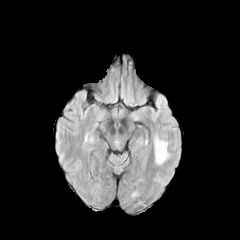
FLAIR magnetic resonance.
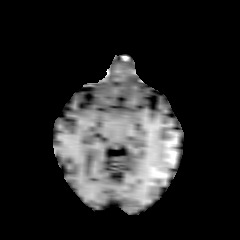
T1-weighted MR image of the same slice.
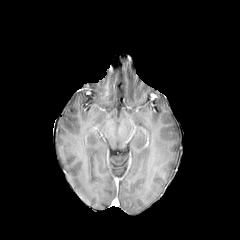
Post-contrast T1-weighted magnetic resonance.
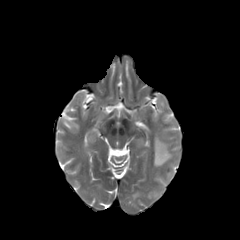
Same slice, T2-weighted magnetic resonance.
Brain.
peritumoral edema — (left=154, top=135, right=170, bottom=165)